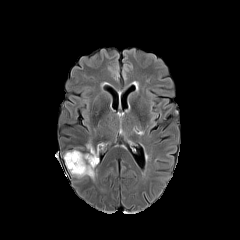
FLAIR MR image.
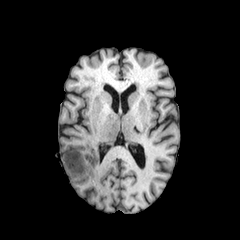
T1-weighted MR.
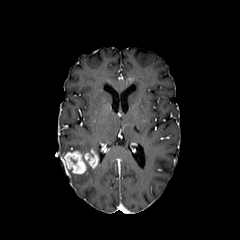
Post-contrast T1-weighted MR image.
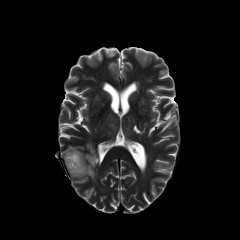
T2-weighted MRI.
Brain
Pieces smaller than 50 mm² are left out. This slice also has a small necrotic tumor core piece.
enhancing tumor — 64,149,98,174
peritumoral edema — 69,164,95,179